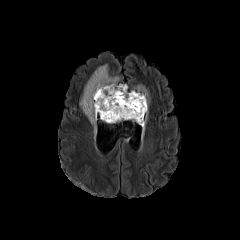
FLAIR MR.
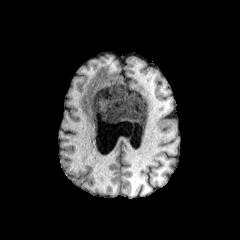
T1-weighted MR.
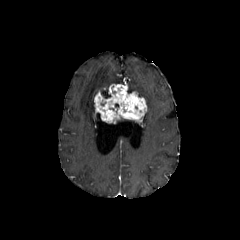
Same slice, post-contrast T1-weighted MRI.
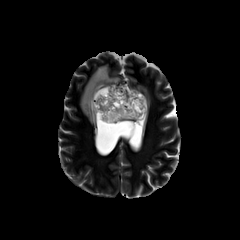
T2-weighted MRI.
Axial view
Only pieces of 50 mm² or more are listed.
peritumoral edema — (x1=80, y1=64, x2=119, y2=127), (x1=130, y1=85, x2=149, y2=106)
enhancing tumor — (x1=94, y1=84, x2=147, y2=123)
necrotic tumor core — (x1=101, y1=89, x2=110, y2=98)